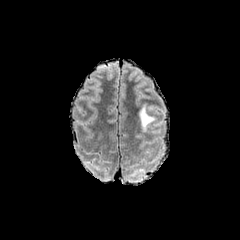
FLAIR MR image.
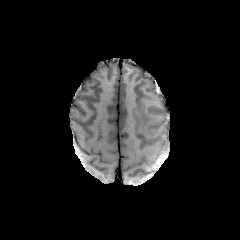
T1-weighted MR image of the same slice.
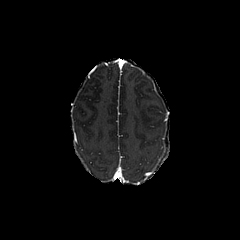
Post-contrast T1-weighted MR of the same slice.
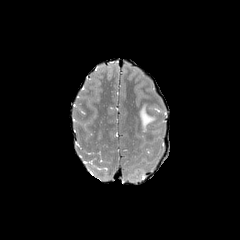
Same slice, T2-weighted MRI.
Brain
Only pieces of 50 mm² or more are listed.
{
  "peritumoral_edema": [
    "box(139, 104, 155, 131)"
  ]
}